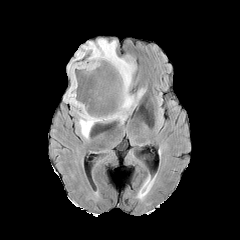
FLAIR MR image.
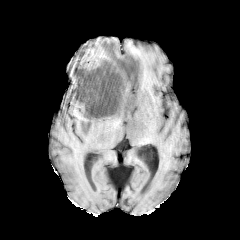
Same slice, T1-weighted MR image.
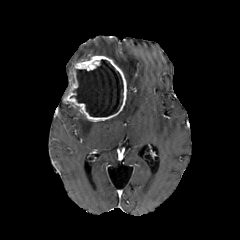
Post-contrast T1-weighted MRI.
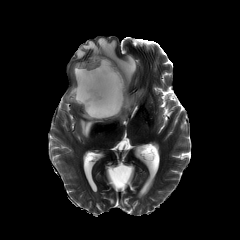
T2-weighted MR.
Brain. 240x240.
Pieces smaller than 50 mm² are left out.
<segmentation>
  <necrotic_tumor_core><box>71,59,123,116</box></necrotic_tumor_core>
  <enhancing_tumor><box>63,55,126,121</box></enhancing_tumor>
  <peritumoral_edema><box>78,111,96,138</box>, <box>72,38,144,122</box></peritumoral_edema>
</segmentation>